FLAIR magnetic resonance.
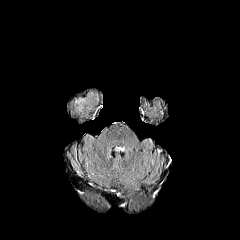
T1-weighted MR.
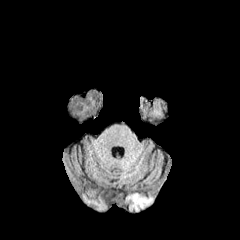
Post-contrast T1-weighted MR.
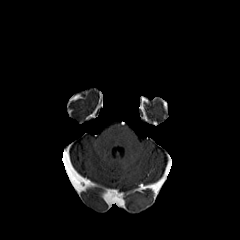
T2-weighted MRI.
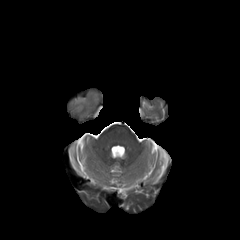
Axial plane
• peritumoral edema: <bbox>75, 98, 86, 110</bbox>